Brain, Slice index 79
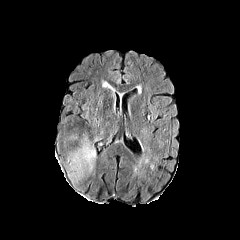
FLAIR MRI.
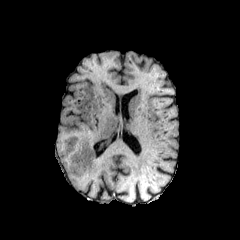
Same slice, T1-weighted magnetic resonance.
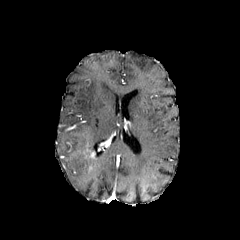
Same slice, post-contrast T1-weighted MR image.
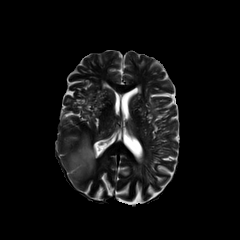
T2-weighted MR of the same slice.
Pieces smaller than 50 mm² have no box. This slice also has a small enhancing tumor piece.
Annotated regions:
• peritumoral edema: l=68, t=138, r=95, b=180